Slice index 47
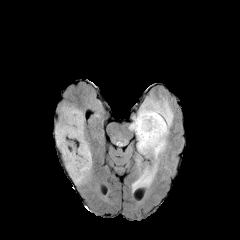
FLAIR MR image.
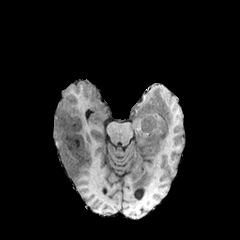
Same slice, T1-weighted magnetic resonance.
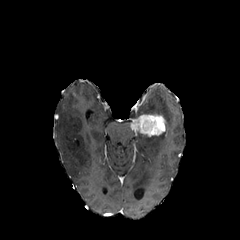
Post-contrast T1-weighted MRI.
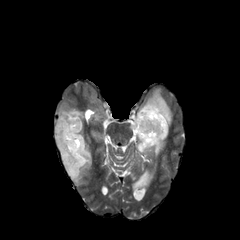
T2-weighted MR of the same slice.
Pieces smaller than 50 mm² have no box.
The enhancing tumor appears at bbox=[130, 114, 165, 136]. The 3 largest peritumoral edema regions appear at bbox=[132, 167, 156, 191]; bbox=[134, 91, 173, 159]; bbox=[55, 104, 92, 184].